FLAIR MR.
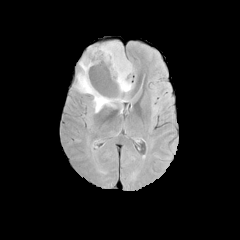
T1-weighted MR.
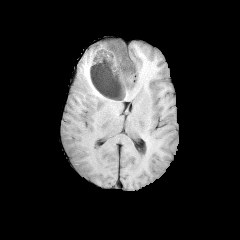
Post-contrast T1-weighted magnetic resonance.
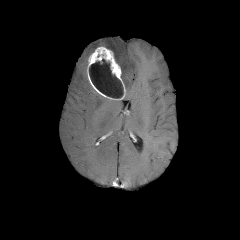
T2-weighted magnetic resonance.
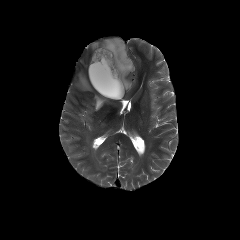
Axial slice
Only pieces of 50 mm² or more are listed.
{
  "enhancing_tumor": [
    "bbox=[87, 46, 125, 99]"
  ],
  "necrotic_tumor_core": [
    "bbox=[89, 53, 123, 98]"
  ],
  "peritumoral_edema": [
    "bbox=[76, 61, 123, 111]",
    "bbox=[101, 41, 133, 92]"
  ]
}